Head. Image covers 240 mm x 240 mm.
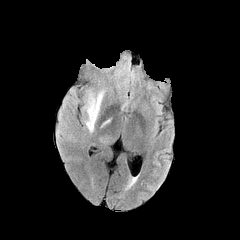
FLAIR MR.
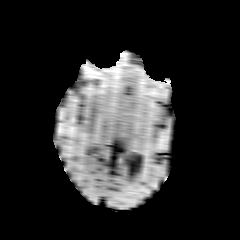
Same slice, T1-weighted MR.
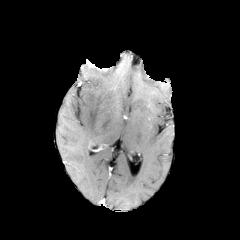
Post-contrast T1-weighted MR image of the same slice.
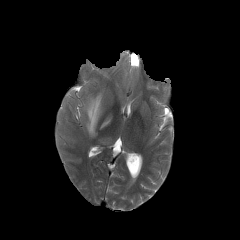
T2-weighted MRI.
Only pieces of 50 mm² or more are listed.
Findings:
* peritumoral edema: rect(87, 93, 102, 132)